FLAIR MRI.
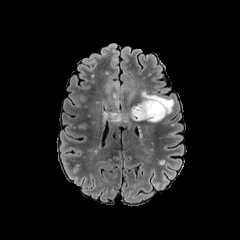
T1-weighted MR.
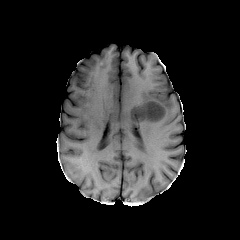
Post-contrast T1-weighted MR.
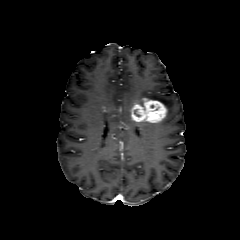
T2-weighted magnetic resonance.
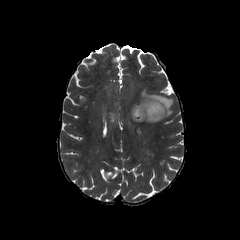
240x240 px. Axial plane.
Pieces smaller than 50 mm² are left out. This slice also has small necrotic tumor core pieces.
enhancing tumor: bbox=[131, 98, 167, 122]
peritumoral edema: bbox=[141, 90, 173, 116]; bbox=[109, 109, 131, 121]